Brain. Image width 240 mm.
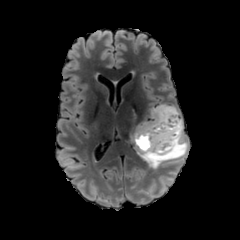
FLAIR MR.
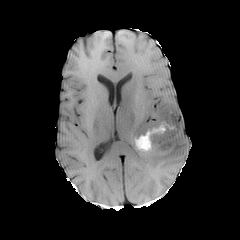
T1-weighted MR.
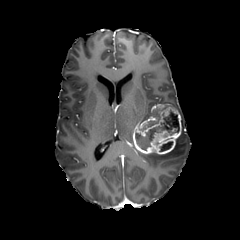
Post-contrast T1-weighted MR.
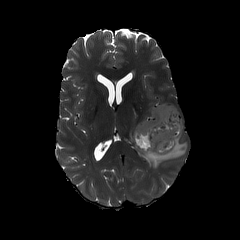
T2-weighted MRI.
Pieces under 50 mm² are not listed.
peritumoral edema at 138,131,187,169
necrotic tumor core at 148,110,160,126; 135,111,179,150; 160,141,172,151
enhancing tumor at 132,104,182,154